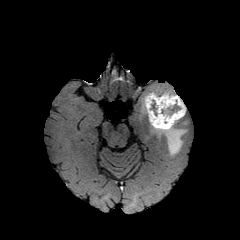
FLAIR MR.
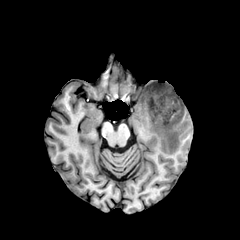
T1-weighted MRI of the same slice.
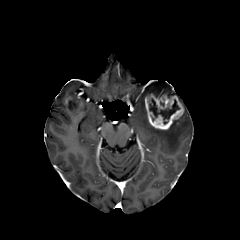
Post-contrast T1-weighted MR of the same slice.
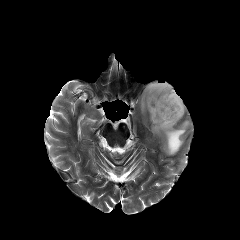
T2-weighted MR image.
Brain.
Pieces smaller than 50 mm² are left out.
{
  "necrotic_tumor_core": [
    "x1=149, y1=98, x2=179, y2=124"
  ],
  "enhancing_tumor": [
    "x1=145, y1=94, x2=184, y2=129"
  ],
  "peritumoral_edema": [
    "x1=152, y1=120, x2=186, y2=155",
    "x1=146, y1=84, x2=175, y2=97"
  ]
}